FLAIR MRI.
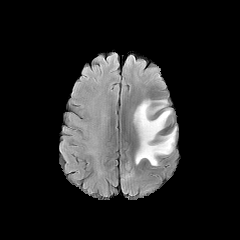
T1-weighted magnetic resonance.
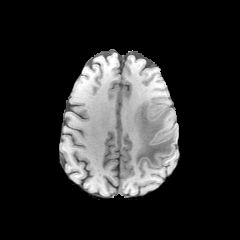
Post-contrast T1-weighted MR image.
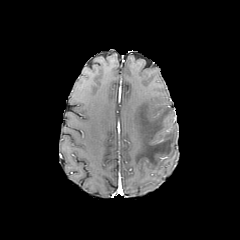
T2-weighted MR image.
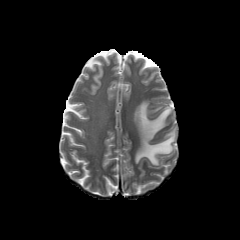
peritumoral edema: bbox=[134, 100, 176, 165]